FLAIR MR image.
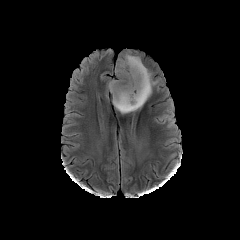
T1-weighted MRI.
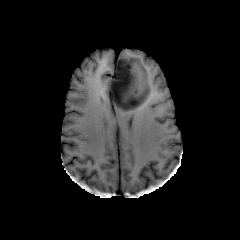
Post-contrast T1-weighted MR image.
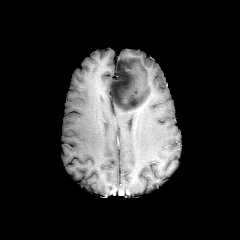
T2-weighted MR image.
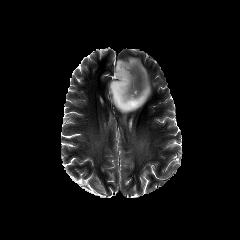
240x240 px; Head
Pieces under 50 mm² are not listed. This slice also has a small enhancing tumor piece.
Annotated regions:
- peritumoral edema: {"x1": 117, "y1": 55, "x2": 157, "y2": 96}, {"x1": 112, "y1": 97, "x2": 148, "y2": 113}
- necrotic tumor core: {"x1": 110, "y1": 59, "x2": 148, "y2": 109}